Axial plane, Brain
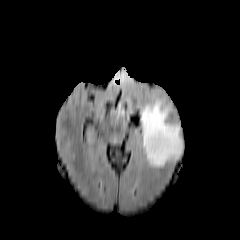
FLAIR magnetic resonance.
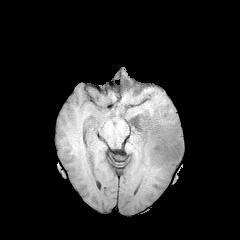
T1-weighted MRI of the same slice.
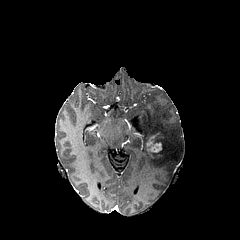
Post-contrast T1-weighted magnetic resonance of the same slice.
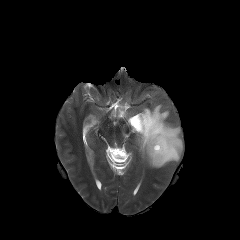
T2-weighted MRI.
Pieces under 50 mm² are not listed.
The largest peritumoral edema region is located at (140,100,182,167). The enhancing tumor is located at (146,133,162,152).